Slice 106/155
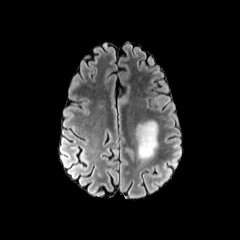
FLAIR MRI.
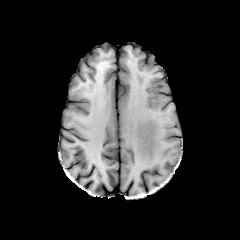
T1-weighted MR.
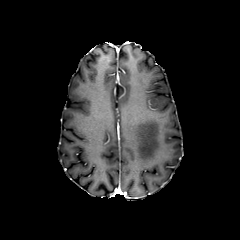
Post-contrast T1-weighted MR.
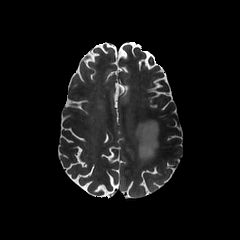
Same slice, T2-weighted MR image.
peritumoral_edema:
  - region(134, 120, 158, 167)